Axial slice, 240x240, Head, Slice 54 of 155, Image width 240 mm, 1.00 mm slice spacing
FLAIR magnetic resonance.
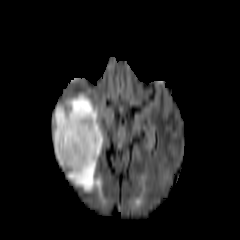
T1-weighted magnetic resonance.
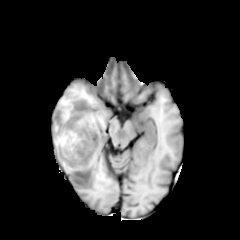
Post-contrast T1-weighted MR.
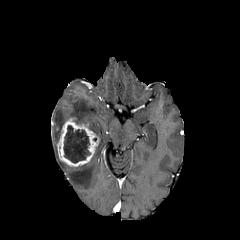
T2-weighted magnetic resonance.
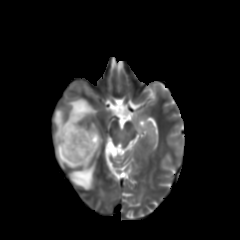
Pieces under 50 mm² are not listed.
peritumoral edema: box=[65, 92, 102, 192]; box=[54, 106, 68, 170] | enhancing tumor: box=[57, 116, 98, 166] | necrotic tumor core: box=[63, 125, 90, 163]